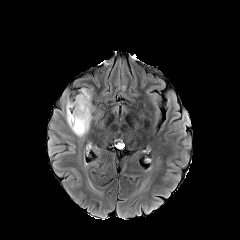
FLAIR magnetic resonance.
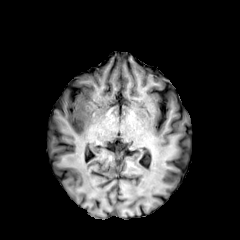
T1-weighted magnetic resonance.
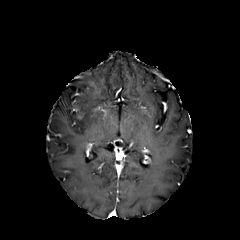
Post-contrast T1-weighted MR image of the same slice.
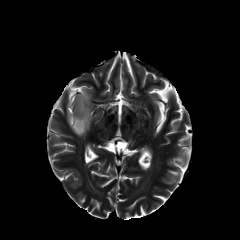
T2-weighted MRI of the same slice.
Image size 240x240, Axial plane
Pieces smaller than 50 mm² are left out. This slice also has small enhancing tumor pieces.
Annotated regions:
- peritumoral edema: (x1=66, y1=88, x2=92, y2=136)